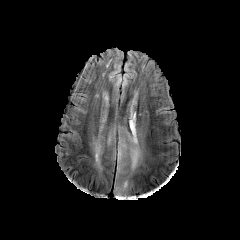
FLAIR MRI.
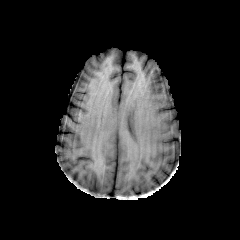
T1-weighted MR image of the same slice.
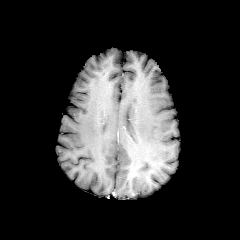
Post-contrast T1-weighted magnetic resonance of the same slice.
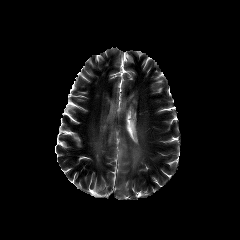
T2-weighted magnetic resonance.
Axial slice, Head
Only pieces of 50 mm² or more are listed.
<segmentation>
  <peritumoral_edema>x1=131, y1=126, x2=137, y2=143; x1=132, y1=151, x2=137, y2=165</peritumoral_edema>
</segmentation>